Slice 53 of 155; Image size 240x240
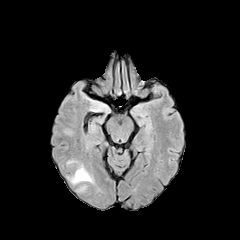
FLAIR MR.
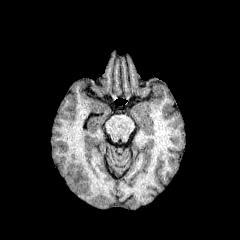
Same slice, T1-weighted magnetic resonance.
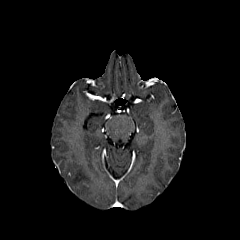
Post-contrast T1-weighted MR image.
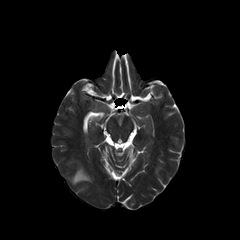
T2-weighted MRI.
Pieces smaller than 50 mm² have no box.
<segmentation>
  <peritumoral_edema>[70,165,92,184]</peritumoral_edema>
</segmentation>